FLAIR MRI.
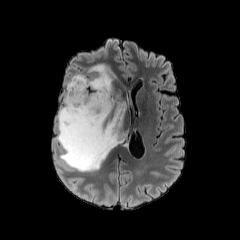
T1-weighted MR.
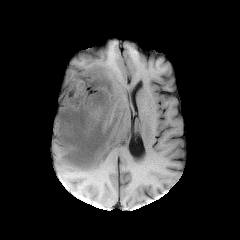
Post-contrast T1-weighted MRI.
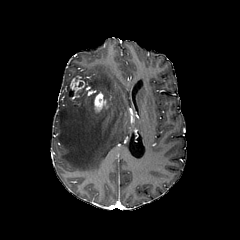
T2-weighted MRI.
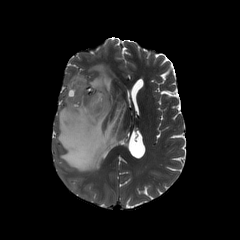
Axial plane | 240x240
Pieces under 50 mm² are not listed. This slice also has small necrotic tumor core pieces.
peritumoral edema: bounding box region(57, 64, 126, 171)
enhancing tumor: bounding box region(70, 76, 107, 112)